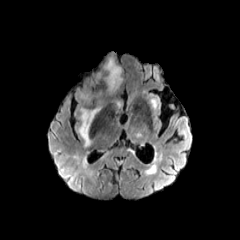
FLAIR MR.
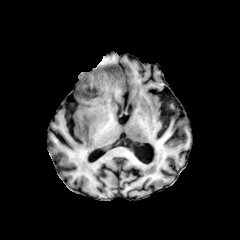
T1-weighted magnetic resonance.
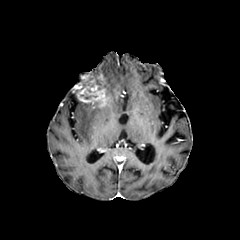
Post-contrast T1-weighted MR.
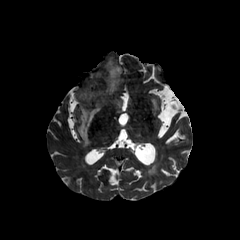
T2-weighted MRI.
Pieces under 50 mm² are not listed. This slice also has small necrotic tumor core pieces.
{"enhancing_tumor": ["[76, 72, 107, 106]", "[97, 73, 103, 84]"], "peritumoral_edema": ["[104, 59, 122, 91]", "[78, 106, 101, 146]"]}